FLAIR MR image.
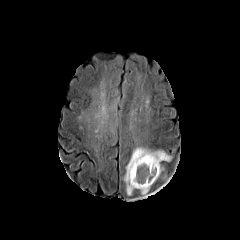
T1-weighted MR image.
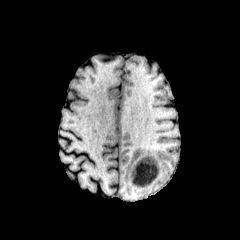
Post-contrast T1-weighted MRI.
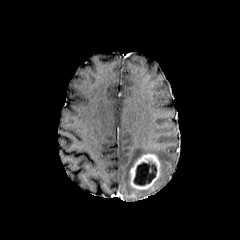
T2-weighted magnetic resonance.
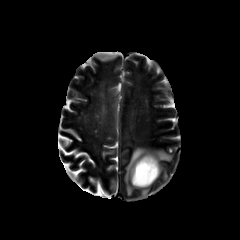
Axial slice | Brain
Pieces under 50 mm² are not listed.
enhancing tumor = [130,153,160,189]
necrotic tumor core = [134,162,156,185]
peritumoral edema = [124,147,171,195], [140,188,149,196]